FLAIR magnetic resonance.
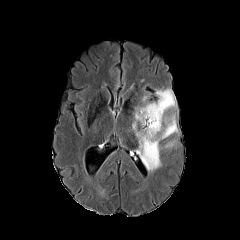
T1-weighted MR.
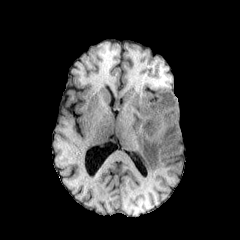
Post-contrast T1-weighted MR.
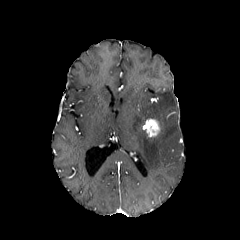
T2-weighted MR image.
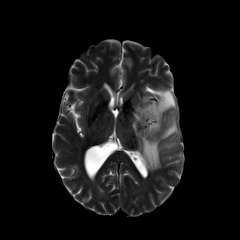
Head | Axial slice
enhancing tumor — (143,118,160,137)
peritumoral edema — (164,140,175,147), (132,88,179,171)